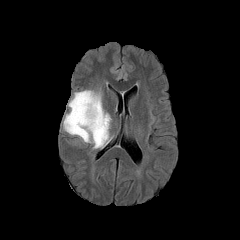
FLAIR MRI.
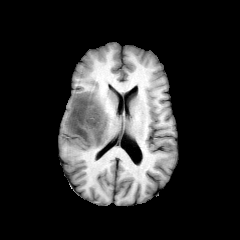
T1-weighted magnetic resonance.
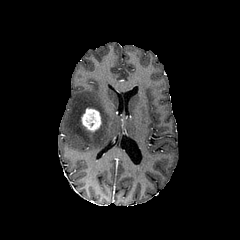
Same slice, post-contrast T1-weighted MR image.
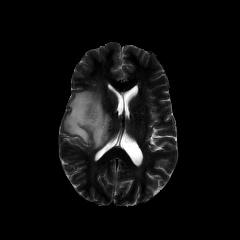
T2-weighted MR.
peritumoral edema: bounding box rect(63, 90, 111, 148)
enhancing tumor: bounding box rect(81, 108, 101, 132)